FLAIR MR.
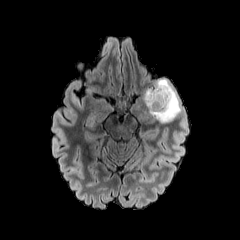
T1-weighted magnetic resonance.
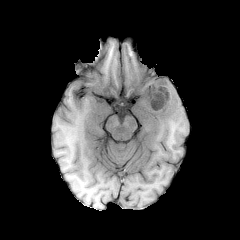
Post-contrast T1-weighted MRI.
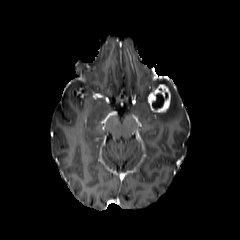
T2-weighted magnetic resonance.
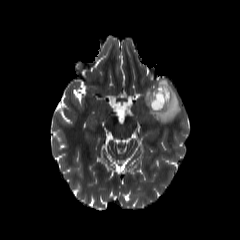
Brain; Image size 240x240; Axial view
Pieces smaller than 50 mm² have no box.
The peritumoral edema lies within bbox=[144, 78, 181, 123]. The enhancing tumor is bounded by bbox=[147, 84, 171, 113]. The largest necrotic tumor core region is bounded by bbox=[152, 93, 164, 109].